240x240. Axial slice. Slice index 70. Image covers 240 mm x 240 mm.
FLAIR MR image.
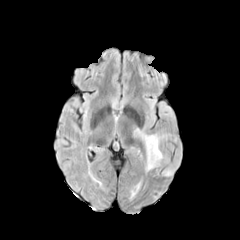
T1-weighted MR.
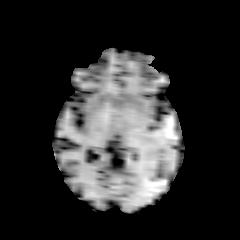
Post-contrast T1-weighted MRI.
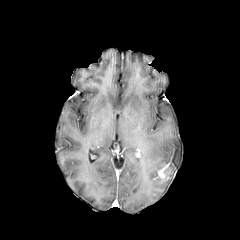
T2-weighted MR image.
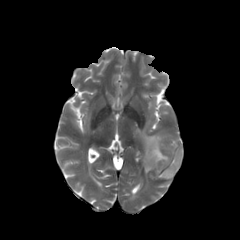
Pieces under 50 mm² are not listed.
Annotated regions:
* enhancing tumor: (156,165,171,179)
* peritumoral edema: (135,128,169,171)